FLAIR magnetic resonance.
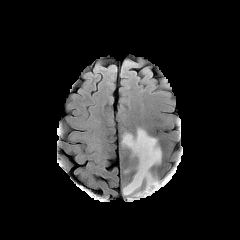
T1-weighted MR.
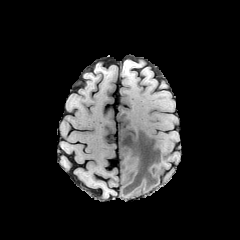
Post-contrast T1-weighted MR image.
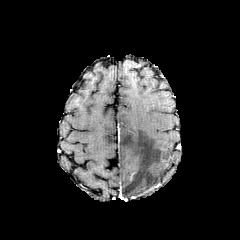
T2-weighted magnetic resonance.
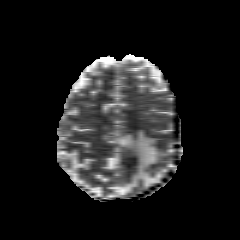
Head
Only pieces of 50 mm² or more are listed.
The largest peritumoral edema region is at <bbox>121, 129, 161, 195</bbox>.